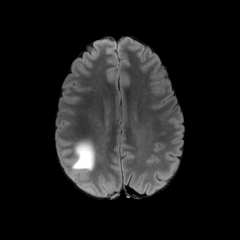
FLAIR magnetic resonance.
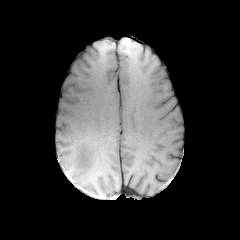
T1-weighted MR image of the same slice.
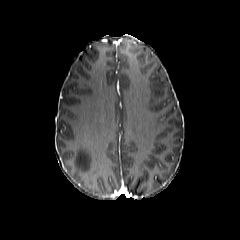
Post-contrast T1-weighted magnetic resonance.
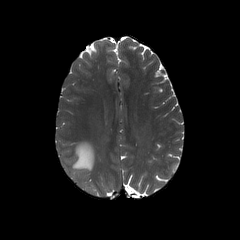
Same slice, T2-weighted MRI.
Axial view | 240x240
The peritumoral edema lies within <box>70,140,95,171</box>.